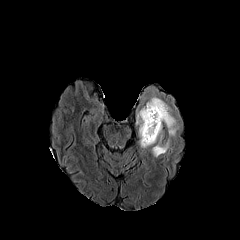
FLAIR MR image.
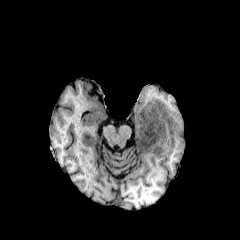
T1-weighted MR.
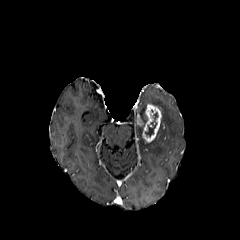
Post-contrast T1-weighted MRI of the same slice.
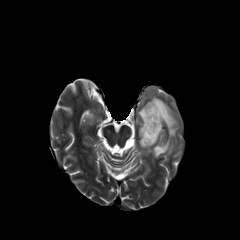
T2-weighted MR.
Image size 240x240, Head
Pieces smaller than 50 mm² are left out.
<segmentation>
  <enhancing_tumor>(137, 104, 161, 142)</enhancing_tumor>
  <peritumoral_edema>(139, 87, 179, 157)</peritumoral_edema>
  <necrotic_tumor_core>(145, 123, 157, 136)</necrotic_tumor_core>
</segmentation>